Head. Slice 64 of 155.
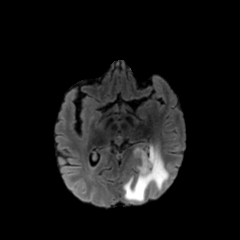
FLAIR MRI.
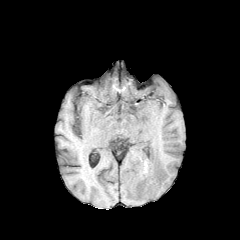
T1-weighted magnetic resonance.
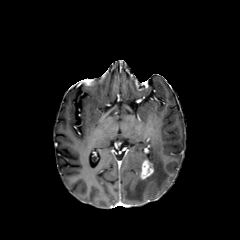
Post-contrast T1-weighted MR.
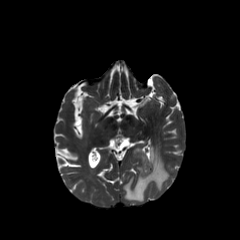
T2-weighted MRI.
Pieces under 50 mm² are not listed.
Annotated regions:
• enhancing tumor: region(140, 159, 153, 179)
• peritumoral edema: region(123, 146, 168, 202)